Slice index 53; Head
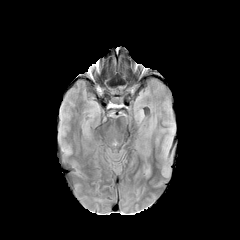
FLAIR MRI.
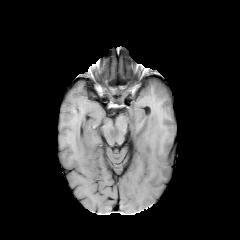
T1-weighted MRI.
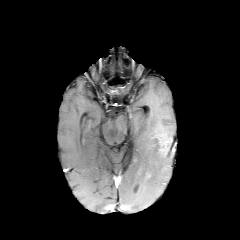
Post-contrast T1-weighted magnetic resonance.
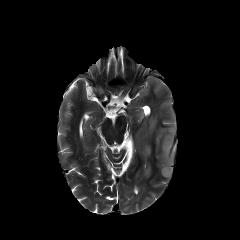
T2-weighted MR image of the same slice.
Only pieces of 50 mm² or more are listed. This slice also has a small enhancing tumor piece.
The 3 largest peritumoral edema regions appear at (162, 129, 172, 157), (163, 166, 170, 177), (145, 167, 151, 179).